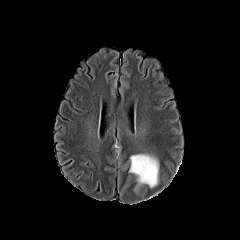
FLAIR magnetic resonance.
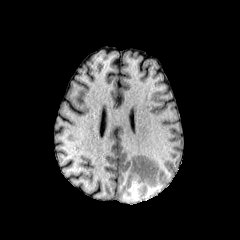
T1-weighted MR of the same slice.
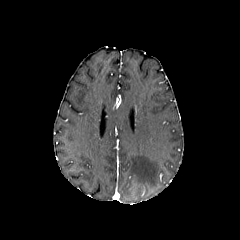
Post-contrast T1-weighted MR.
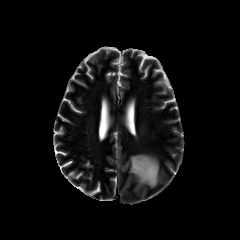
Same slice, T2-weighted MR image.
240x240 px | Axial plane
peritumoral edema: 129:154:159:187